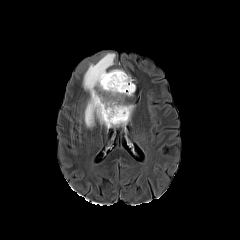
FLAIR MRI.
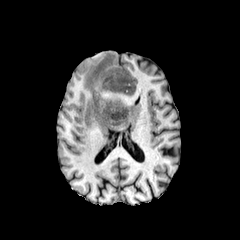
T1-weighted magnetic resonance of the same slice.
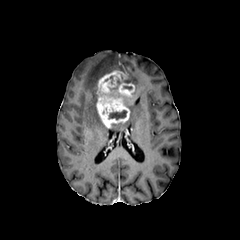
Post-contrast T1-weighted MRI.
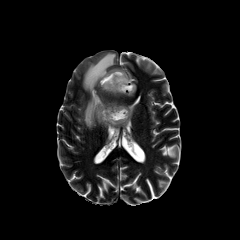
T2-weighted MR of the same slice.
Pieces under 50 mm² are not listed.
The largest necrotic tumor core region appears at <bbox>109, 110, 126, 119</bbox>. The 2 largest peritumoral edema regions are located at <bbox>112, 105, 133, 126</bbox>, <bbox>83, 53, 115, 127</bbox>. The enhancing tumor appears at <bbox>96, 70, 134, 128</bbox>.